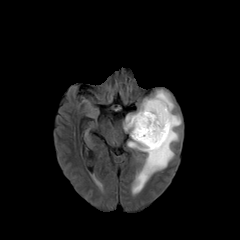
FLAIR MR image.
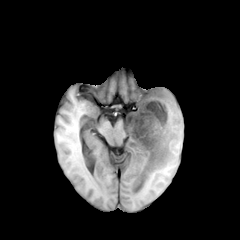
T1-weighted magnetic resonance.
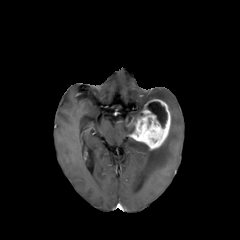
Same slice, post-contrast T1-weighted MR.
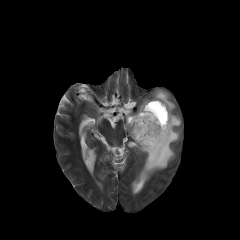
T2-weighted MR of the same slice.
Brain; Image size 240x240; Axial view
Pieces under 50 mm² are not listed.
The largest necrotic tumor core region is bounded by [147,102,167,127]. 2 peritumoral edema regions appear at [126,89,181,193], [123,119,131,133]. The enhancing tumor appears at [126,99,171,150].